Axial view; Brain
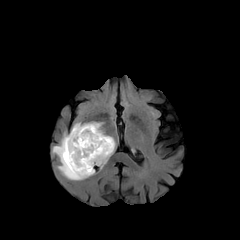
FLAIR MRI.
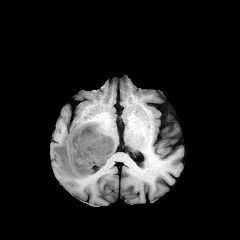
T1-weighted magnetic resonance of the same slice.
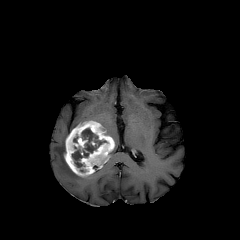
Same slice, post-contrast T1-weighted MRI.
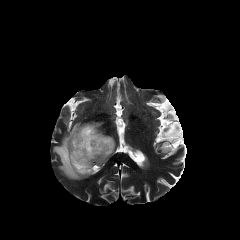
T2-weighted MR of the same slice.
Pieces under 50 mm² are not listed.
Annotated regions:
- necrotic tumor core: box(72, 128, 106, 167)
- enhancing tumor: box(64, 121, 114, 177)
- peritumoral edema: box(52, 132, 95, 180)